Slice index 82
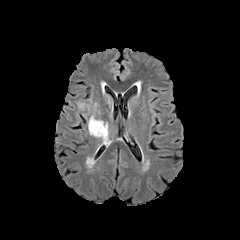
FLAIR MR image.
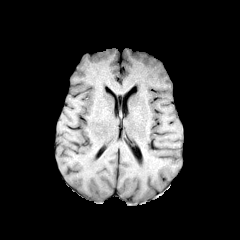
Same slice, T1-weighted MR.
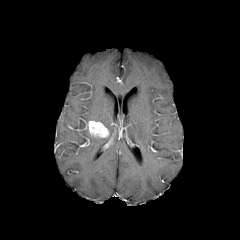
Post-contrast T1-weighted MR image.
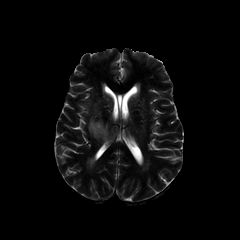
T2-weighted magnetic resonance.
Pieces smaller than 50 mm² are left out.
<segmentation>
  <enhancing_tumor>(left=88, top=121, right=109, bottom=137)</enhancing_tumor>
  <peritumoral_edema>(left=95, top=133, right=109, bottom=143), (left=89, top=116, right=108, bottom=129)</peritumoral_edema>
</segmentation>